FLAIR MR.
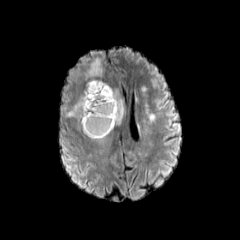
T1-weighted MR image.
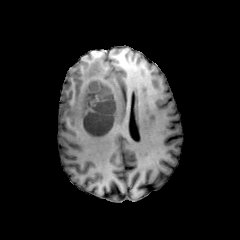
Post-contrast T1-weighted MR image.
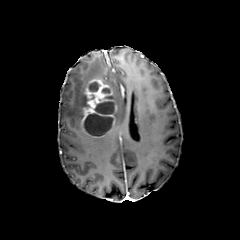
T2-weighted MR.
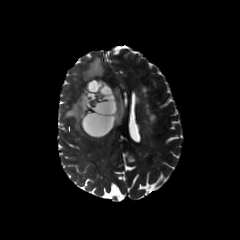
Head | Axial plane
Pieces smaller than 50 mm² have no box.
{
  "enhancing_tumor": [
    "<box>81,79,117,137</box>"
  ],
  "peritumoral_edema": [
    "<box>84,58,108,84</box>",
    "<box>110,86,125,124</box>",
    "<box>65,87,85,129</box>"
  ],
  "necrotic_tumor_core": [
    "<box>84,113,112,135</box>",
    "<box>89,82,99,91</box>",
    "<box>94,101,114,114</box>"
  ]
}